FLAIR magnetic resonance.
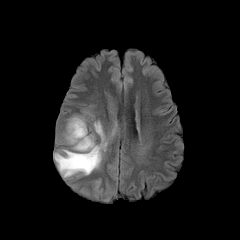
T1-weighted MR.
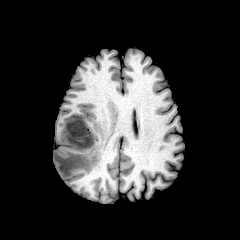
Post-contrast T1-weighted magnetic resonance.
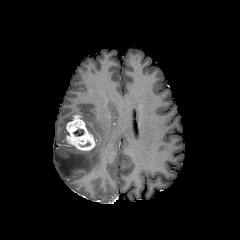
T2-weighted MR.
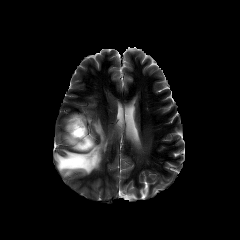
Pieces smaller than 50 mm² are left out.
enhancing tumor — [65,115,95,151]
necrotic tumor core — [74,129,83,135]
peritumoral edema — [54,121,106,177]